Slice 75 of 155 | 240x240 | Head
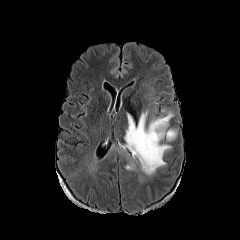
FLAIR MR.
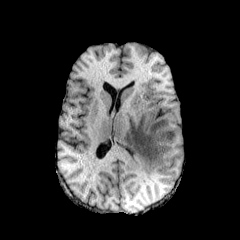
T1-weighted MRI.
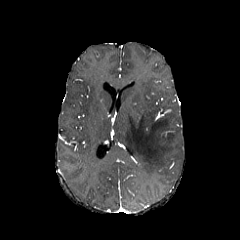
Post-contrast T1-weighted magnetic resonance.
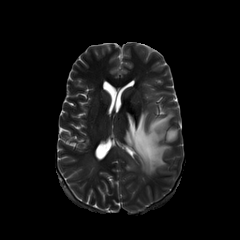
T2-weighted MR.
peritumoral edema: bounding box {"x1": 166, "y1": 129, "x2": 176, "y2": 140}, {"x1": 124, "y1": 111, "x2": 173, "y2": 175}, {"x1": 125, "y1": 163, "x2": 135, "y2": 169}